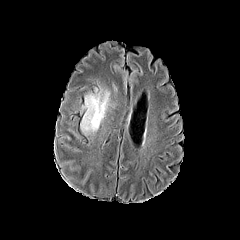
FLAIR MR.
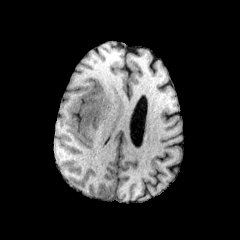
T1-weighted MRI.
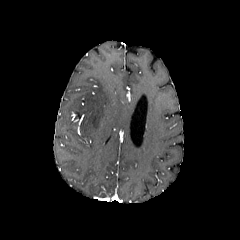
Same slice, post-contrast T1-weighted MR image.
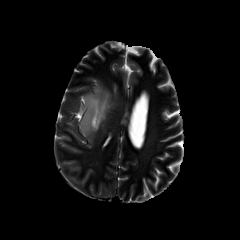
Same slice, T2-weighted MR.
Brain | Axial slice | 240x240 px
Annotated regions:
- peritumoral edema: (left=81, top=87, right=110, bottom=134)